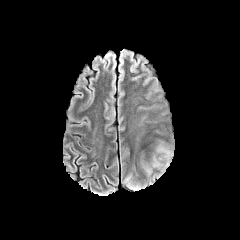
FLAIR magnetic resonance.
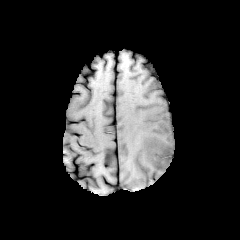
T1-weighted magnetic resonance of the same slice.
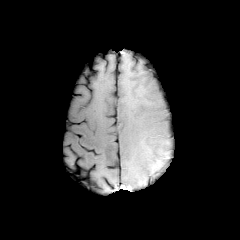
Post-contrast T1-weighted MR.
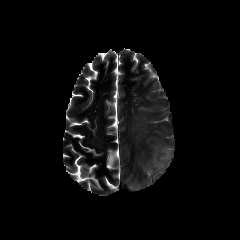
T2-weighted magnetic resonance.
Axial view; Head
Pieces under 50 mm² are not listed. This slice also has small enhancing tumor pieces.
peritumoral edema at 153,148,171,168